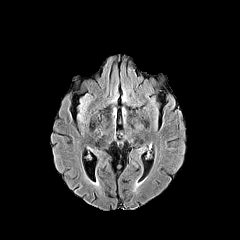
FLAIR MR image.
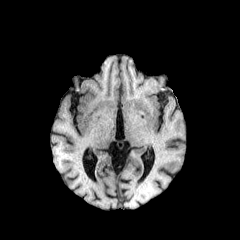
Same slice, T1-weighted MRI.
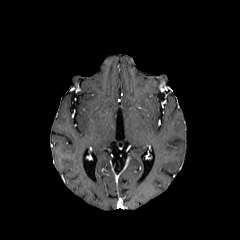
Post-contrast T1-weighted MR of the same slice.
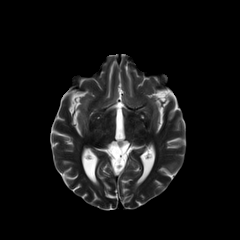
T2-weighted MR image.
240x240 | Axial slice | Brain
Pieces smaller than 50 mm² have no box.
peritumoral edema: (80,99,89,112)